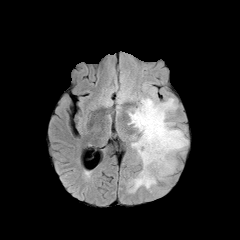
FLAIR MRI.
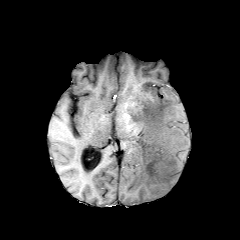
T1-weighted MR image of the same slice.
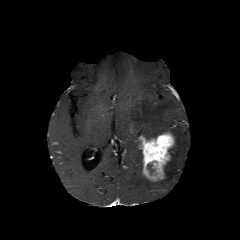
Post-contrast T1-weighted MR image.
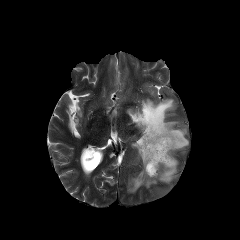
T2-weighted MR.
240x240 px.
The enhancing tumor appears at x1=138 y1=132 x2=175 y2=181. 3 peritumoral edema regions are bounded by x1=128 y1=98 x2=188 y2=182, x1=131 y1=140 x2=142 y2=169, x1=128 y1=170 x2=157 y2=192. The necrotic tumor core is at x1=147 y1=163 x2=155 y2=173.